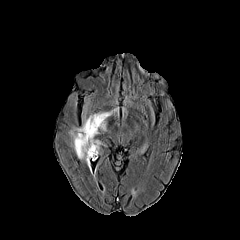
FLAIR MR image.
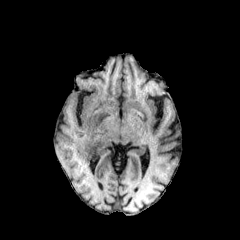
T1-weighted MRI.
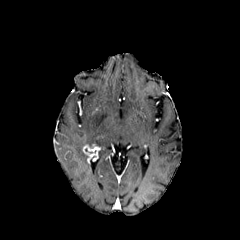
Same slice, post-contrast T1-weighted MRI.
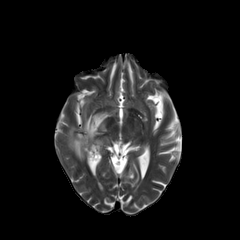
T2-weighted MR image of the same slice.
Head | 240x240 px
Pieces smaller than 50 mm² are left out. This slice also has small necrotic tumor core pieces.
enhancing tumor = left=82, top=144, right=99, bottom=161
peritumoral edema = left=69, top=111, right=110, bottom=160